FLAIR MR.
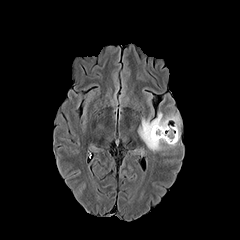
T1-weighted MR.
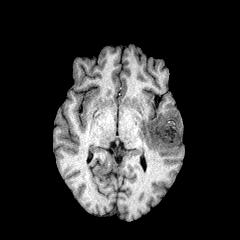
Post-contrast T1-weighted MR.
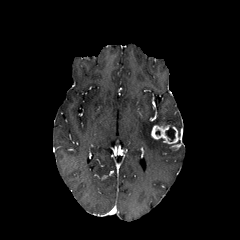
T2-weighted magnetic resonance.
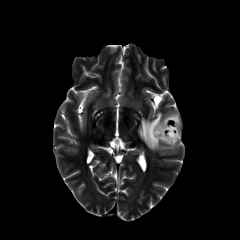
Axial view
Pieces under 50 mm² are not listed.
peritumoral edema at (138,110,181,151)
necrotic tumor core at (165,126,175,141)
enhancing tumor at (151,125,179,144)